240x240 px, Slice 99 of 155, Brain
FLAIR MR image.
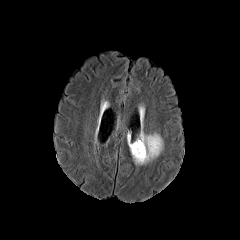
T1-weighted magnetic resonance.
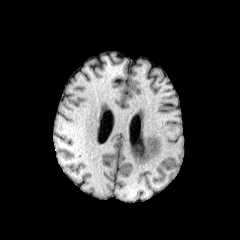
Post-contrast T1-weighted MRI.
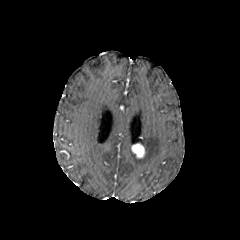
T2-weighted magnetic resonance.
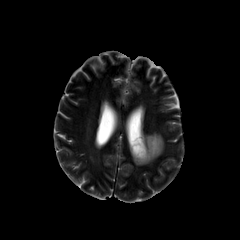
peritumoral_edema:
  - l=127, t=131, r=163, b=164
enhancing_tumor:
  - l=131, t=142, r=144, b=158